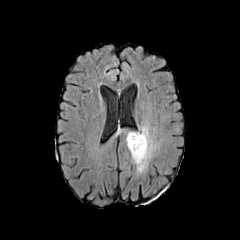
FLAIR MRI.
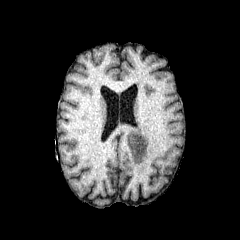
Same slice, T1-weighted MR.
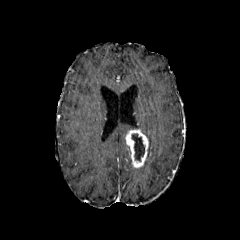
Post-contrast T1-weighted MR.
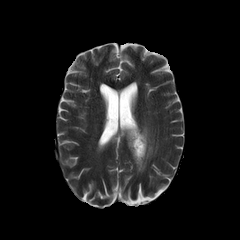
T2-weighted MRI.
Brain
enhancing tumor = [125,129,148,168]
necrotic tumor core = [132,134,144,160]
peritumoral edema = [136,125,157,173]